Axial slice, 240x240
FLAIR MRI.
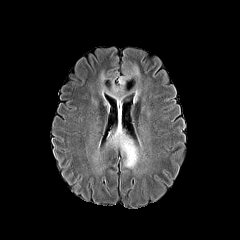
T1-weighted MRI.
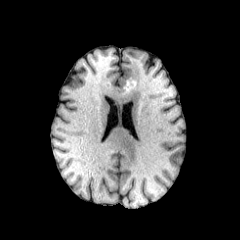
Post-contrast T1-weighted MR image.
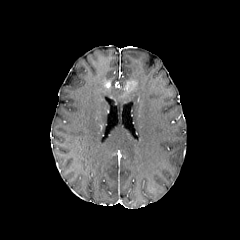
T2-weighted MR image.
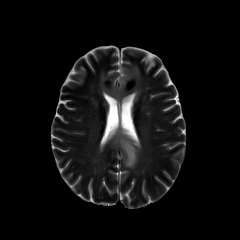
2 peritumoral edema regions appear at (106,121,141,168), (100,65,140,104).